FLAIR magnetic resonance.
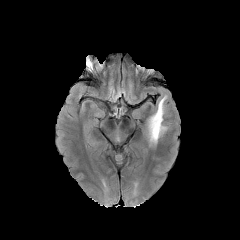
T1-weighted MRI.
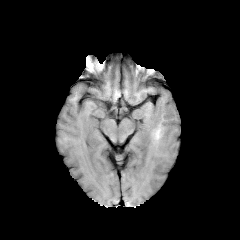
Post-contrast T1-weighted MR.
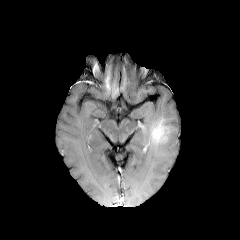
T2-weighted MR.
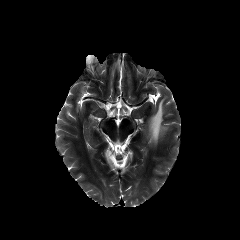
Brain. Axial slice.
The enhancing tumor is bounded by [x1=152, y1=124, x2=163, y2=139]. The peritumoral edema appears at [x1=146, y1=96, x2=168, y2=145].